FLAIR MRI.
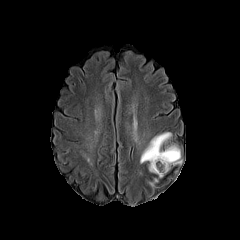
T1-weighted MRI.
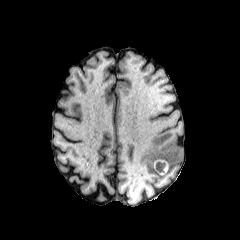
Post-contrast T1-weighted MR.
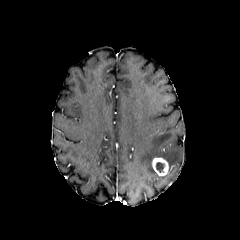
T2-weighted MR.
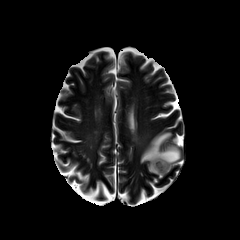
240x240 | Axial plane | Head
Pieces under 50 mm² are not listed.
The largest peritumoral edema region is at l=140, t=132, r=181, b=173. The necrotic tumor core is located at l=156, t=162, r=163, b=172. The enhancing tumor appears at l=152, t=157, r=168, b=176.